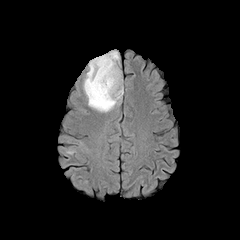
FLAIR magnetic resonance.
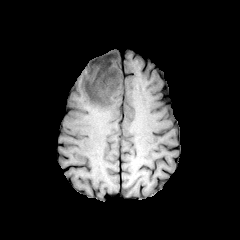
Same slice, T1-weighted magnetic resonance.
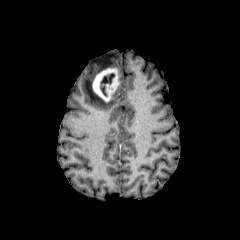
Same slice, post-contrast T1-weighted MRI.
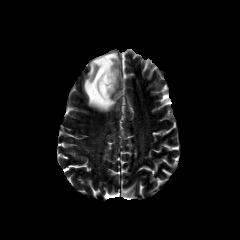
Same slice, T2-weighted MR.
Head. 240x240.
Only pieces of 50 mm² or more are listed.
peritumoral edema at 83,50,123,112
necrotic tumor core at 100,73,114,96
enhancing tumor at 92,68,119,102